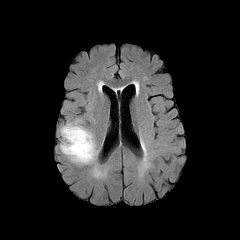
FLAIR MR image.
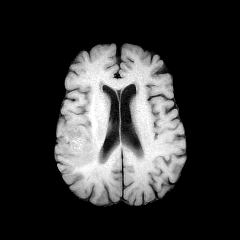
T1-weighted MRI.
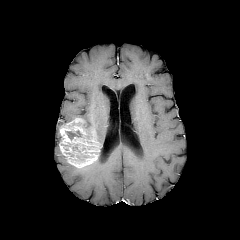
Same slice, post-contrast T1-weighted MRI.
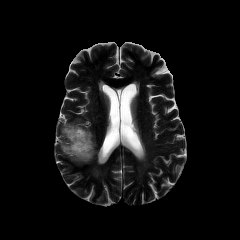
T2-weighted MR image.
Axial plane
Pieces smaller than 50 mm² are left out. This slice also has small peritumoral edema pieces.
Annotated regions:
• enhancing tumor: bbox(59, 118, 100, 167)
• necrotic tumor core: bbox(66, 130, 82, 139); bbox(72, 144, 87, 160)